FLAIR MR image.
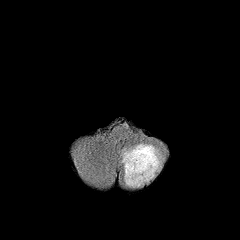
T1-weighted MR.
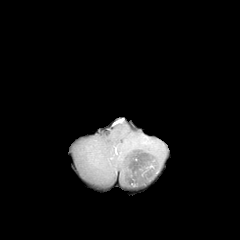
Post-contrast T1-weighted magnetic resonance.
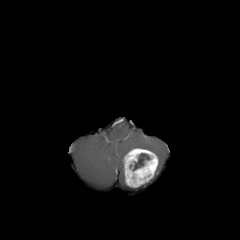
T2-weighted MR image.
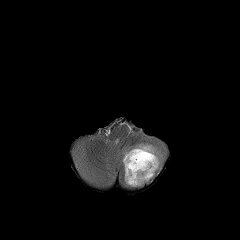
Head.
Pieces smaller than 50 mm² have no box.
- necrotic tumor core: <box>133,153,150,170</box>
- peritumoral edema: <box>118,139,165,182</box>
- enhancing tumor: <box>123,148,158,187</box>